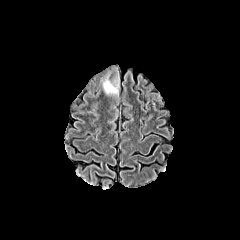
FLAIR MRI.
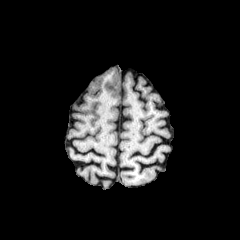
T1-weighted MR.
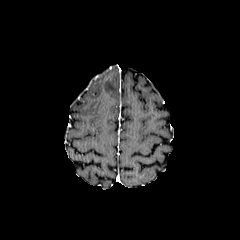
Post-contrast T1-weighted MR.
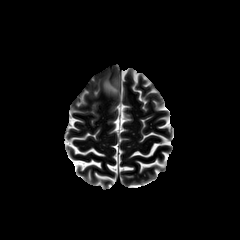
Same slice, T2-weighted MR.
peritumoral edema: left=103, top=77, right=118, bottom=94